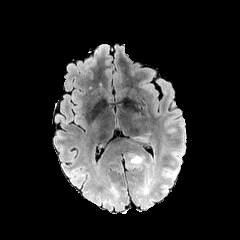
FLAIR MR.
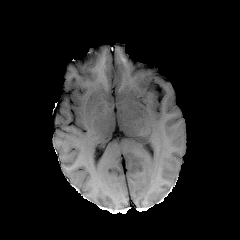
T1-weighted MR image.
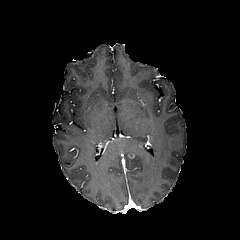
Post-contrast T1-weighted MR image of the same slice.
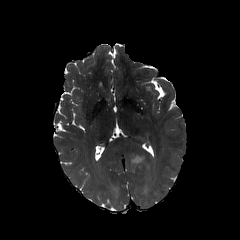
Same slice, T2-weighted MR image.
Image size 240x240, Axial view
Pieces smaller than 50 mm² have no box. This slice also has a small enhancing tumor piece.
Findings:
• peritumoral edema: <bbox>130, 155, 144, 167</bbox>